Axial plane; Image size 240x240
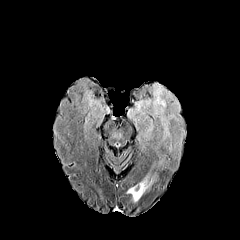
FLAIR magnetic resonance.
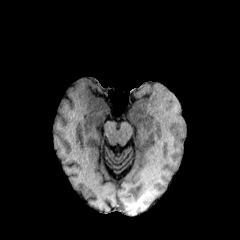
T1-weighted MR.
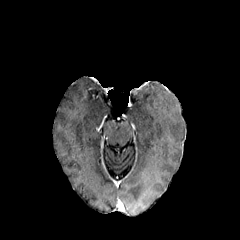
Post-contrast T1-weighted MR image.
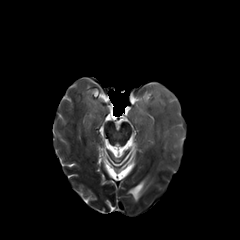
Same slice, T2-weighted MR.
- peritumoral edema: 128,84,182,153; 127,178,152,201